Axial view. Slice 66 of 155. Head.
FLAIR MR.
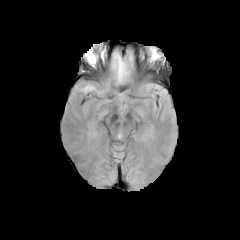
T1-weighted MR.
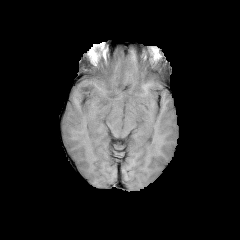
Post-contrast T1-weighted MR image.
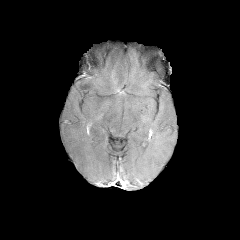
T2-weighted MRI.
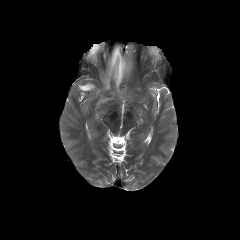
2 peritumoral edema regions are bounded by <bbox>105, 48, 133, 88</bbox>, <bbox>81, 83, 95, 91</bbox>.